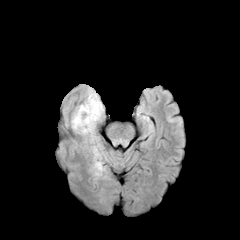
FLAIR MR image.
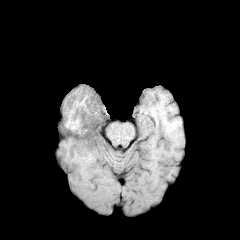
Same slice, T1-weighted MRI.
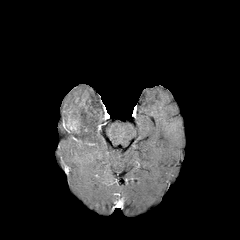
Post-contrast T1-weighted MRI.
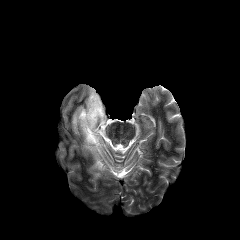
T2-weighted MR image of the same slice.
Axial slice.
peritumoral edema: [x1=72, y1=89, x2=106, y2=175]